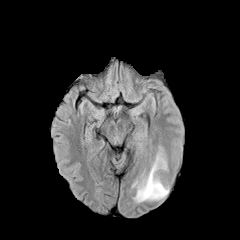
FLAIR MRI.
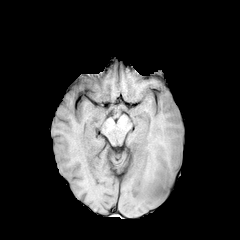
T1-weighted magnetic resonance of the same slice.
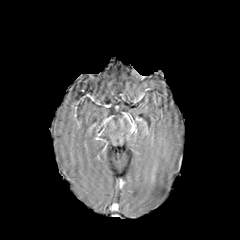
Post-contrast T1-weighted MR image.
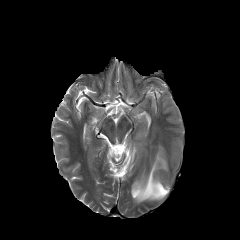
Same slice, T2-weighted magnetic resonance.
Image size 240x240. Axial view. Brain.
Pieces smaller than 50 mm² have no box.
peritumoral edema: 134 146 168 202